Axial view
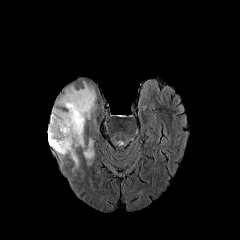
FLAIR MR.
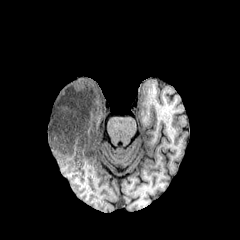
T1-weighted MR of the same slice.
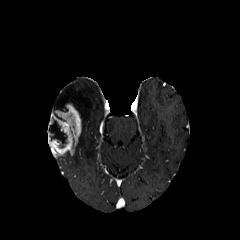
Post-contrast T1-weighted magnetic resonance.
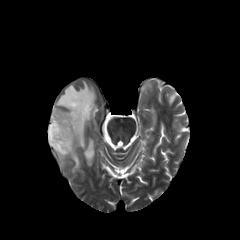
Same slice, T2-weighted magnetic resonance.
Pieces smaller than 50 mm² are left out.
The largest necrotic tumor core region lies within [49,120,67,147]. The enhancing tumor is located at [48,103,81,159]. The 2 largest peritumoral edema regions appear at [55,82,95,164], [70,148,78,171].